FLAIR MRI.
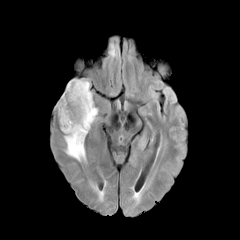
T1-weighted magnetic resonance.
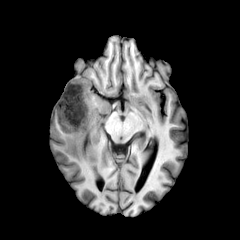
Post-contrast T1-weighted MR.
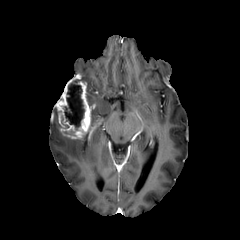
T2-weighted MRI.
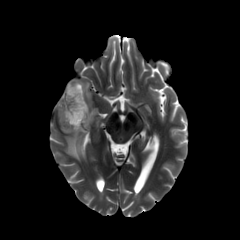
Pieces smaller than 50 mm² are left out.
peritumoral edema: region(85, 81, 97, 128); region(65, 133, 86, 161)
necrotic tumor core: region(64, 80, 84, 130)
enhancing tumor: region(56, 76, 90, 138)